Axial view, Slice 100/155
FLAIR MRI.
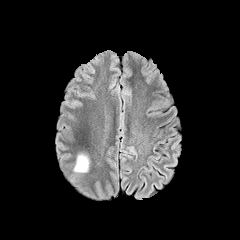
T1-weighted MR image.
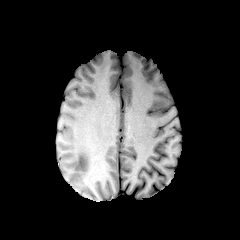
Post-contrast T1-weighted magnetic resonance.
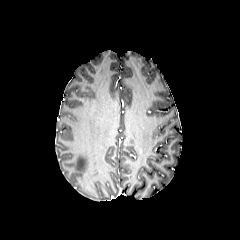
T2-weighted magnetic resonance.
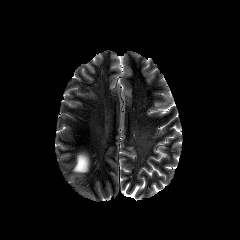
peritumoral edema: [74, 154, 89, 172]